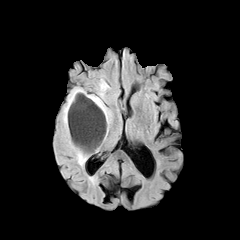
FLAIR MR.
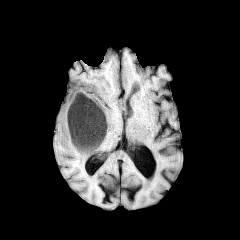
T1-weighted MRI.
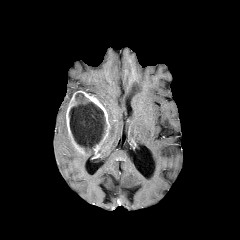
Post-contrast T1-weighted magnetic resonance.
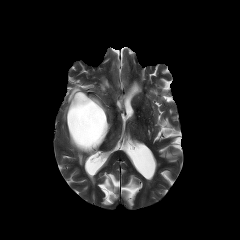
Same slice, T2-weighted MRI.
Image size 240x240 | Axial slice | Head
peritumoral edema at x1=97, y1=80, x2=108, y2=98; x1=62, y1=87, x2=93, y2=165; x1=90, y1=95, x2=112, y2=125
necrotic tumor core at x1=69, y1=93, x2=106, y2=150
enhancing tumor at x1=66, y1=91, x2=110, y2=153